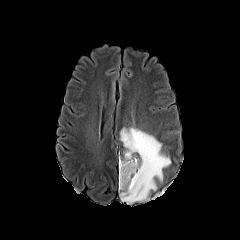
FLAIR MR.
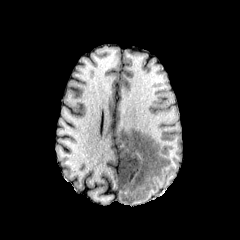
Same slice, T1-weighted MR image.
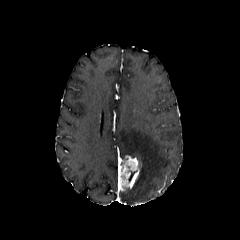
Same slice, post-contrast T1-weighted MRI.
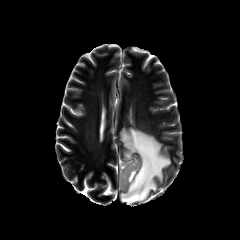
T2-weighted MR.
Brain.
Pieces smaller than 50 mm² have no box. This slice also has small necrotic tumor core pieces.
Findings:
- enhancing tumor: 118 155 140 190
- peritumoral edema: 120 127 170 204